Slice index 78, Axial slice
FLAIR MR image.
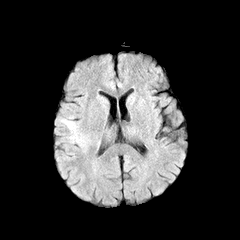
T1-weighted MRI.
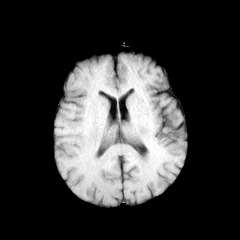
Post-contrast T1-weighted magnetic resonance.
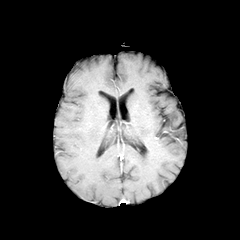
T2-weighted MR.
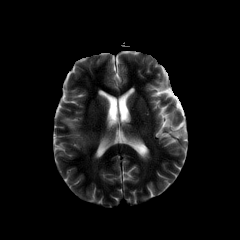
peritumoral edema: bbox=[63, 120, 77, 140]